Head. Axial plane.
FLAIR MR.
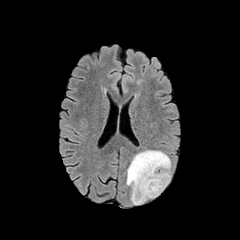
T1-weighted magnetic resonance.
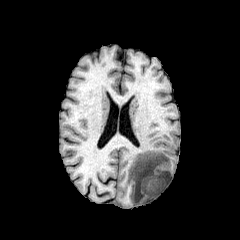
Post-contrast T1-weighted MR image.
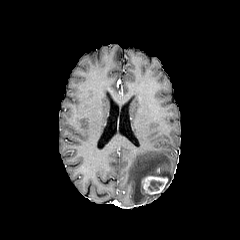
T2-weighted MR.
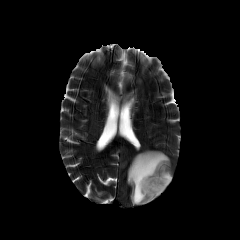
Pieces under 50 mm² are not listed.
Annotated regions:
- peritumoral edema: {"x1": 126, "y1": 150, "x2": 171, "y2": 204}
- necrotic tumor core: {"x1": 148, "y1": 180, "x2": 163, "y2": 191}
- enhancing tumor: {"x1": 140, "y1": 176, "x2": 167, "y2": 194}